Brain. Axial view.
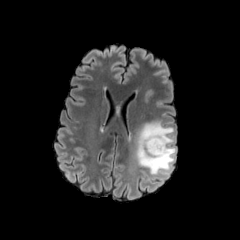
FLAIR MRI.
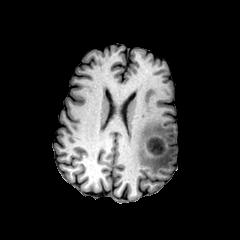
T1-weighted MR.
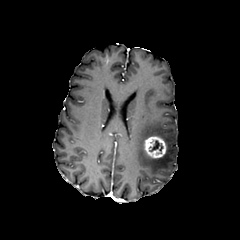
Post-contrast T1-weighted magnetic resonance of the same slice.
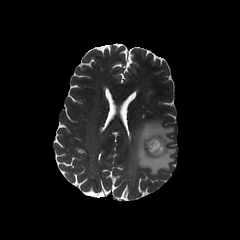
Same slice, T2-weighted MR image.
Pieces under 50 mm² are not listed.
{"peritumoral_edema": ["box(135, 120, 176, 174)"], "necrotic_tumor_core": ["box(150, 140, 163, 152)"], "enhancing_tumor": ["box(144, 136, 166, 158)"]}